FLAIR magnetic resonance.
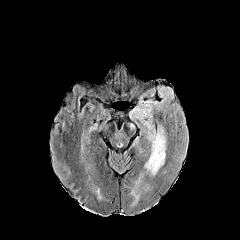
T1-weighted MR image.
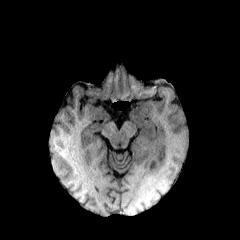
Post-contrast T1-weighted MR.
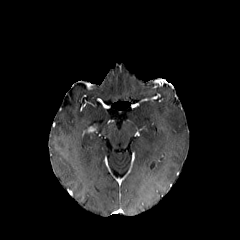
T2-weighted magnetic resonance.
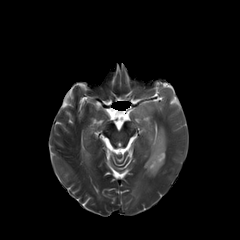
Brain, Image size 240x240, Axial view
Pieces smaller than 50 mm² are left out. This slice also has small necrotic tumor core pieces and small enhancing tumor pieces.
peritumoral edema — 130, 106, 167, 175